FLAIR MR.
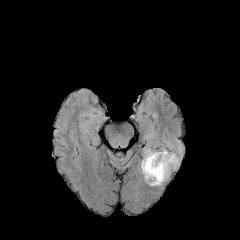
T1-weighted MR.
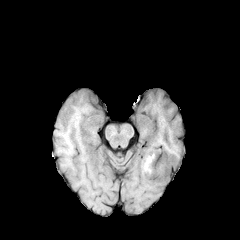
Post-contrast T1-weighted magnetic resonance.
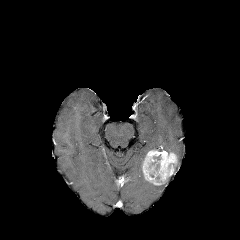
T2-weighted MR.
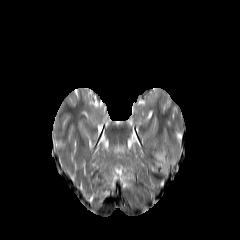
Brain, Axial slice
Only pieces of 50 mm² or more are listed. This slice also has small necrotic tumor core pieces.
The largest peritumoral edema region is at region(175, 147, 181, 168). The enhancing tumor appears at region(142, 150, 177, 184).